FLAIR MR image.
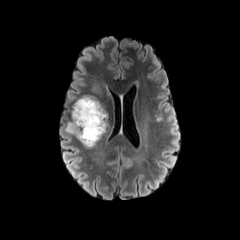
T1-weighted MR.
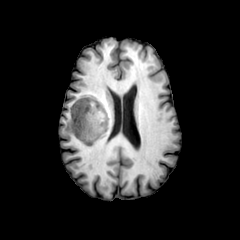
Post-contrast T1-weighted magnetic resonance.
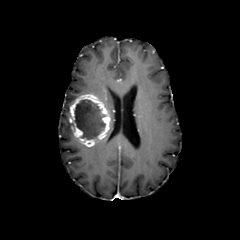
T2-weighted MR image.
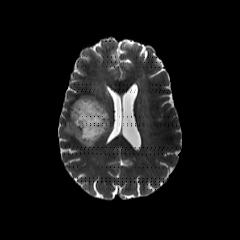
Axial plane; Brain; Image size 240x240
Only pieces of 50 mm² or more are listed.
enhancing tumor = bbox(69, 94, 109, 146)
peritumoral edema = bbox(64, 120, 72, 134); bbox(91, 83, 102, 95)
necrotic tumor core = bbox(74, 99, 105, 141)